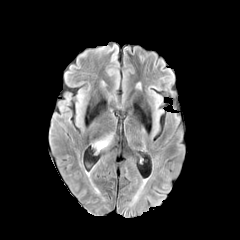
FLAIR MRI.
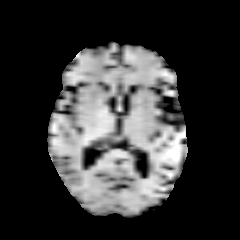
T1-weighted MR image.
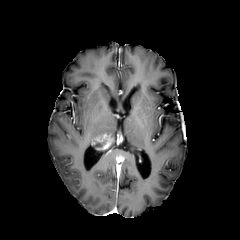
Post-contrast T1-weighted MR of the same slice.
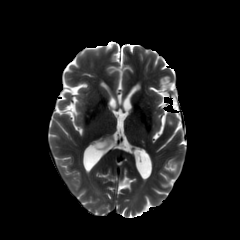
T2-weighted MR image.
Head. 240x240.
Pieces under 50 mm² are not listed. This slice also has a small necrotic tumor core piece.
{
  "enhancing_tumor": [
    "[92,134,113,150]"
  ]
}